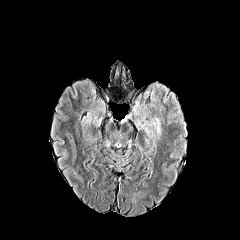
FLAIR magnetic resonance.
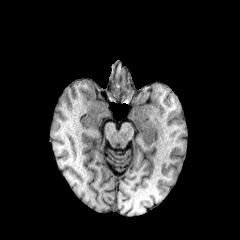
T1-weighted magnetic resonance.
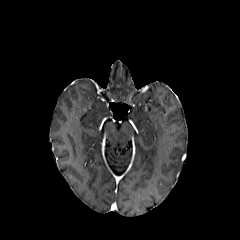
Post-contrast T1-weighted MR.
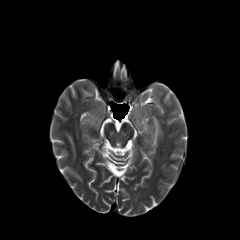
T2-weighted magnetic resonance.
240x240 px
{"peritumoral_edema": ["l=153, t=119, r=160, b=134"]}